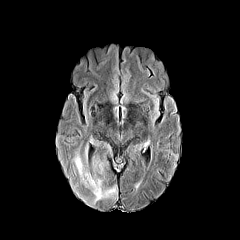
FLAIR magnetic resonance.
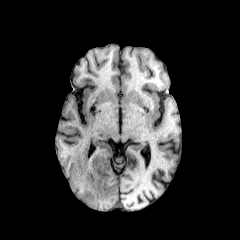
Same slice, T1-weighted magnetic resonance.
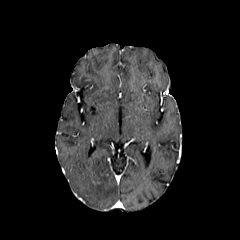
Post-contrast T1-weighted MR.
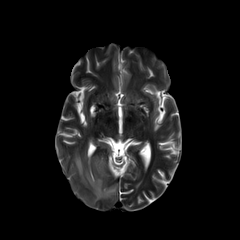
T2-weighted MRI.
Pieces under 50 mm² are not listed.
peritumoral edema at rect(73, 153, 117, 203); rect(93, 159, 104, 173)